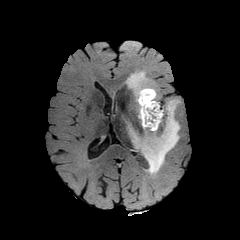
FLAIR MR image.
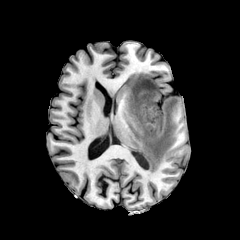
T1-weighted MR image.
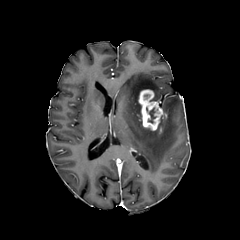
Post-contrast T1-weighted MR image.
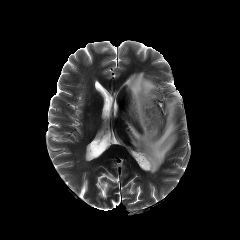
T2-weighted MRI of the same slice.
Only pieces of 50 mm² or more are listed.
<segmentation>
  <peritumoral_edema>(x1=126, y1=71, x2=180, y2=173)</peritumoral_edema>
  <enhancing_tumor>(x1=138, y1=89, x2=163, y2=130)</enhancing_tumor>
  <necrotic_tumor_core>(x1=148, y1=107, x2=155, y2=123)</necrotic_tumor_core>
</segmentation>